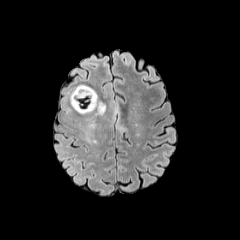
FLAIR magnetic resonance.
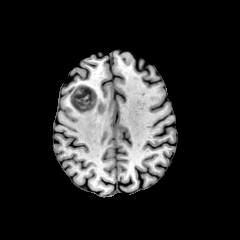
T1-weighted magnetic resonance of the same slice.
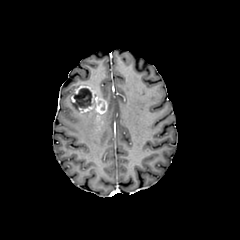
Same slice, post-contrast T1-weighted MR.
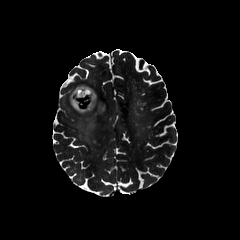
Same slice, T2-weighted MR image.
Brain
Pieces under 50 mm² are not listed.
{"necrotic_tumor_core": ["(left=74, top=88, right=92, bottom=108)"], "peritumoral_edema": ["(left=68, top=84, right=102, bottom=145)"], "enhancing_tumor": ["(left=71, top=85, right=107, bottom=114)"]}